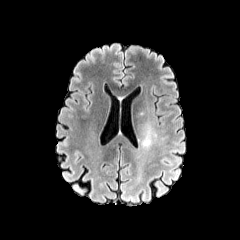
FLAIR magnetic resonance.
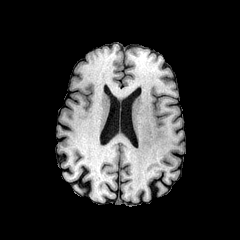
T1-weighted MRI of the same slice.
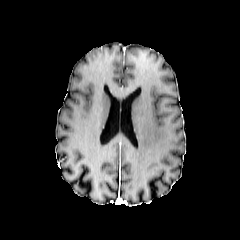
Post-contrast T1-weighted magnetic resonance.
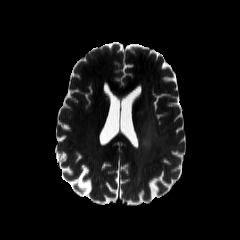
Same slice, T2-weighted MRI.
Head
peritumoral edema: bounding box (left=141, top=123, right=156, bottom=147)